FLAIR magnetic resonance.
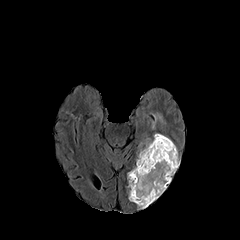
T1-weighted magnetic resonance.
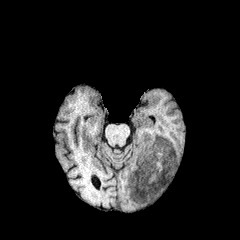
Post-contrast T1-weighted MRI.
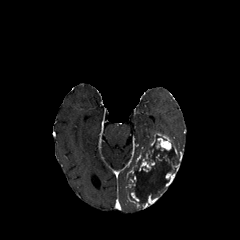
T2-weighted MRI.
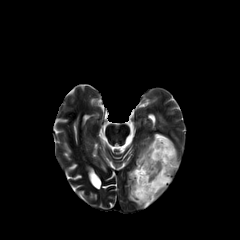
Image size 240x240 | Head
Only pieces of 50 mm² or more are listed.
The largest peritumoral edema region appears at 138, 138, 152, 155. The largest necrotic tumor core region appears at 127, 140, 179, 208. The 6 largest enhancing tumor regions are bounded by 126, 178, 135, 188; 150, 133, 178, 155; 142, 193, 162, 208; 139, 150, 154, 171; 128, 192, 139, 207; 165, 172, 175, 188.